FLAIR MRI.
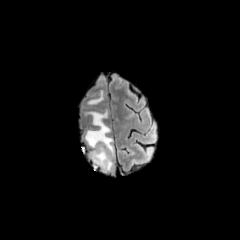
T1-weighted MR.
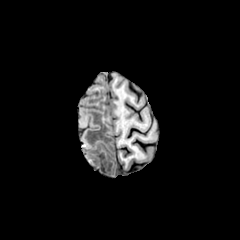
Post-contrast T1-weighted MRI.
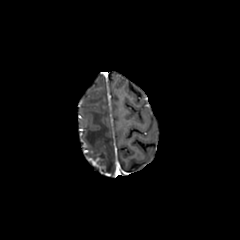
T2-weighted magnetic resonance.
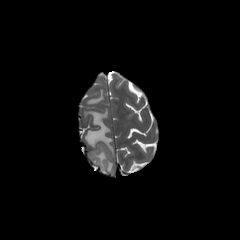
Brain; 240x240 px; Axial slice
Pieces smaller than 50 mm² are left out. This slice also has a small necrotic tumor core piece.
peritumoral edema at [87,90,104,104], [84,110,114,172]
enhancing tumor at [88,152,106,171]